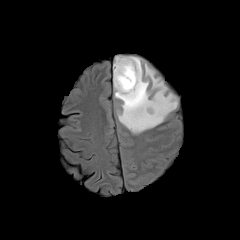
FLAIR MR image.
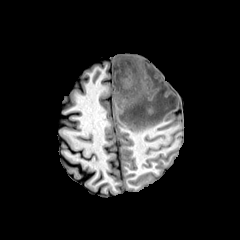
T1-weighted MR image.
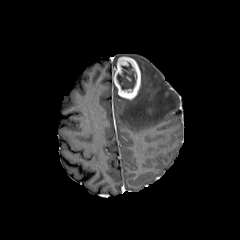
Post-contrast T1-weighted MR of the same slice.
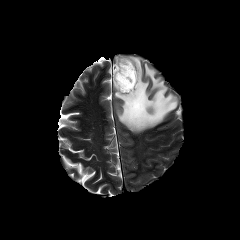
T2-weighted MR of the same slice.
Axial plane; 240x240 px
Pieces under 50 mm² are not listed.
The largest peritumoral edema region lies within <box>114,56,178,133</box>. The necrotic tumor core lies within <box>117,62,136,90</box>. The largest enhancing tumor region appears at <box>113,56,140,99</box>.